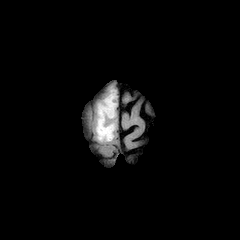
FLAIR MRI.
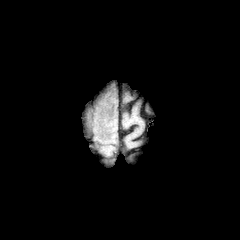
T1-weighted MR of the same slice.
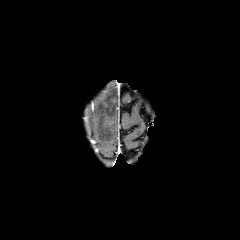
Post-contrast T1-weighted MR.
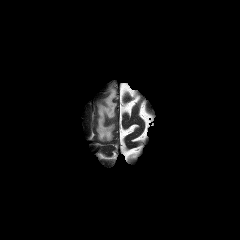
Same slice, T2-weighted MRI.
240x240 px
peritumoral edema: bounding box {"x1": 96, "y1": 89, "x2": 116, "y2": 141}